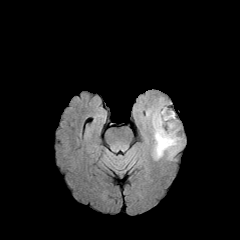
FLAIR MR.
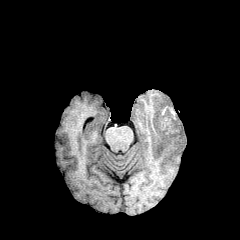
T1-weighted MR of the same slice.
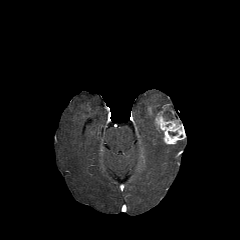
Post-contrast T1-weighted MR of the same slice.
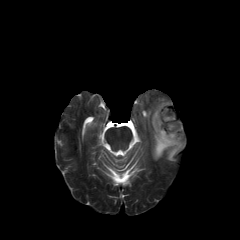
T2-weighted magnetic resonance.
Image size 240x240.
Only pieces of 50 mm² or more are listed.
<segmentation>
  <necrotic_tumor_core>(x1=163, y1=106, x2=173, y2=120)</necrotic_tumor_core>
  <enhancing_tumor>(x1=154, y1=104, x2=185, y2=144)</enhancing_tumor>
  <peritumoral_edema>(x1=146, y1=98, x2=183, y2=160)</peritumoral_edema>
</segmentation>